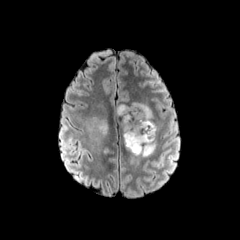
FLAIR MR.
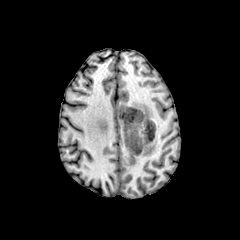
Same slice, T1-weighted MR.
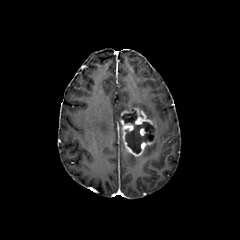
Post-contrast T1-weighted MRI of the same slice.
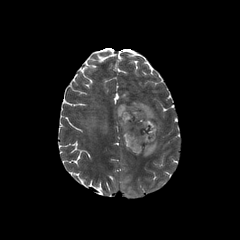
T2-weighted MR.
Brain, Image size 240x240, Axial slice
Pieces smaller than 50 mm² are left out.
The largest enhancing tumor region is at {"x1": 120, "y1": 107, "x2": 155, "y2": 156}. The largest necrotic tumor core region is at {"x1": 122, "y1": 109, "x2": 153, "y2": 153}. 4 peritumoral edema regions are located at {"x1": 98, "y1": 119, "x2": 107, "y2": 134}, {"x1": 142, "y1": 126, "x2": 157, "y2": 156}, {"x1": 129, "y1": 102, "x2": 153, "y2": 120}, {"x1": 117, "y1": 104, "x2": 127, "y2": 116}.